FLAIR MRI.
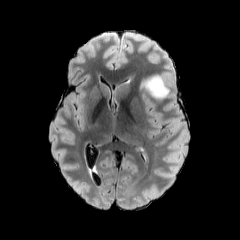
T1-weighted MR image.
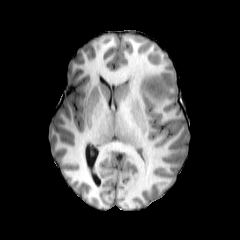
Post-contrast T1-weighted MR image.
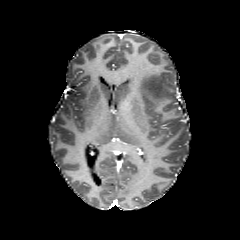
T2-weighted MR image.
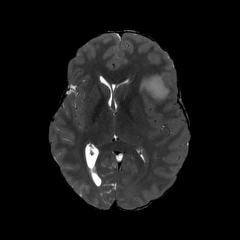
Head
peritumoral edema: <bbox>140, 74, 170, 102</bbox>